FLAIR MRI.
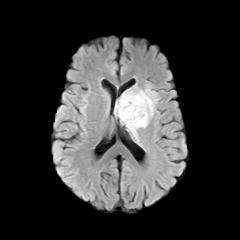
T1-weighted MR.
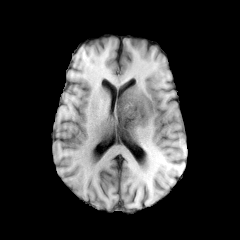
Post-contrast T1-weighted magnetic resonance.
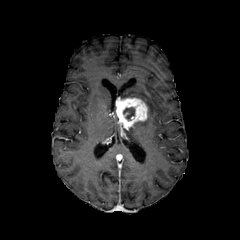
T2-weighted MRI.
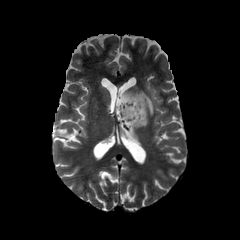
240x240, Axial plane
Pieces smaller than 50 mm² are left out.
Annotated regions:
- peritumoral edema: l=121, t=87, r=157, b=141
- necrotic tumor core: l=123, t=108, r=134, b=119
- enhancing tumor: l=115, t=97, r=147, b=129